Slice 71 of 155, Axial view
FLAIR MR image.
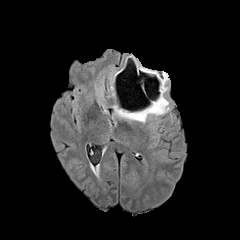
T1-weighted magnetic resonance.
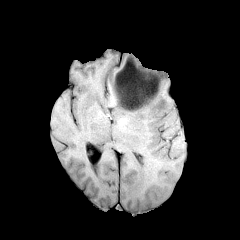
Post-contrast T1-weighted MRI.
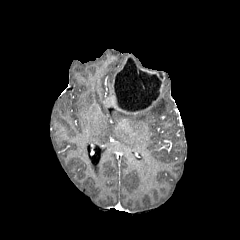
T2-weighted magnetic resonance.
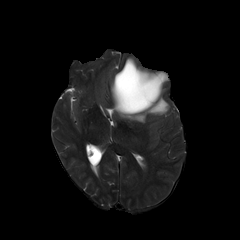
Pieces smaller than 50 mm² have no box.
Annotated regions:
- peritumoral edema: 114:86:169:122
- necrotic tumor core: 114:57:161:111
- enhancing tumor: 118:108:141:113, 141:68:165:81